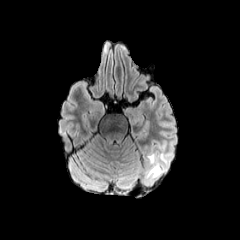
FLAIR MR image.
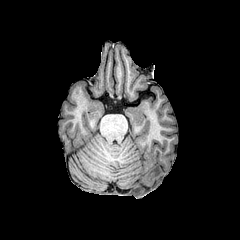
T1-weighted MR.
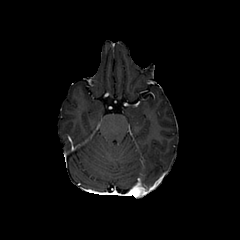
Post-contrast T1-weighted MR.
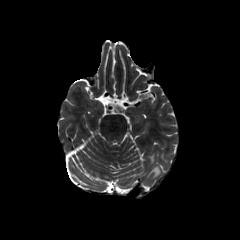
Same slice, T2-weighted magnetic resonance.
Axial view
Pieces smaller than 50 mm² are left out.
The largest peritumoral edema region appears at x1=145, y1=165, x2=161, y2=181.